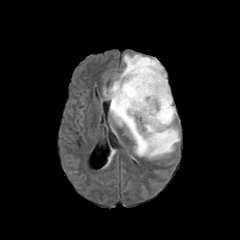
FLAIR MR.
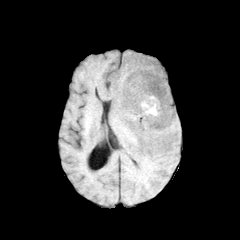
T1-weighted MR image.
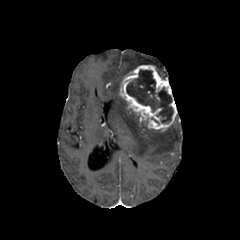
Post-contrast T1-weighted MR image.
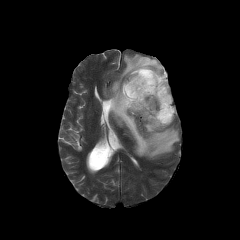
T2-weighted MRI.
Axial plane | 240x240 | Brain
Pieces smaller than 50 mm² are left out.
<segmentation>
  <enhancing_tumor>rect(119, 65, 177, 131)</enhancing_tumor>
  <necrotic_tumor_core>rect(126, 70, 173, 122)</necrotic_tumor_core>
  <peritumoral_edema>rect(103, 54, 179, 158)</peritumoral_edema>
</segmentation>